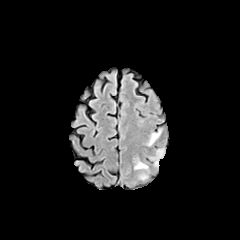
FLAIR MRI.
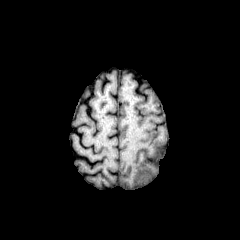
T1-weighted MR image of the same slice.
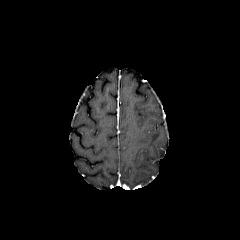
Post-contrast T1-weighted MR image.
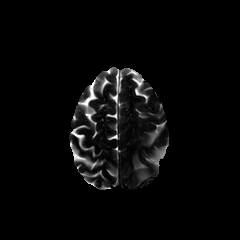
T2-weighted magnetic resonance.
Brain
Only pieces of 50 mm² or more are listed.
Segmented structures:
• peritumoral edema: l=153, t=150, r=163, b=158; l=148, t=129, r=160, b=145; l=134, t=162, r=147, b=169